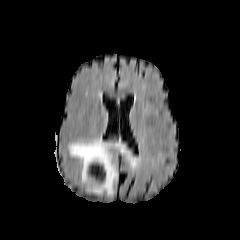
FLAIR MR.
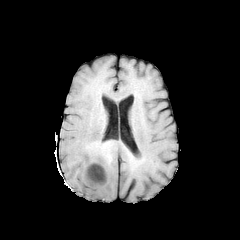
T1-weighted MR image.
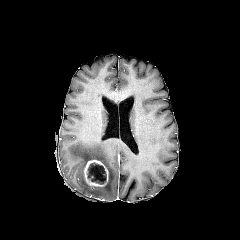
Post-contrast T1-weighted magnetic resonance.
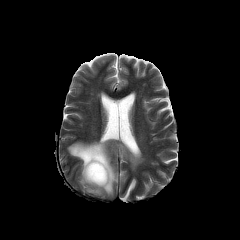
T2-weighted MR image.
Image size 240x240. Axial view.
The peritumoral edema appears at l=68, t=139, r=151, b=196. The enhancing tumor is bounded by l=84, t=160, r=108, b=186. The necrotic tumor core appears at l=87, t=163, r=106, b=184.